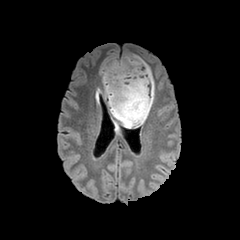
FLAIR MR.
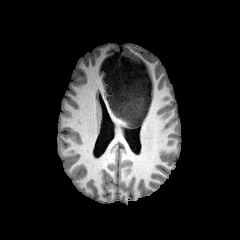
T1-weighted MR.
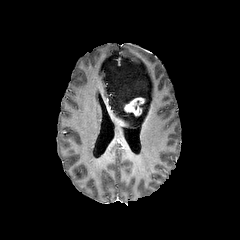
Post-contrast T1-weighted magnetic resonance.
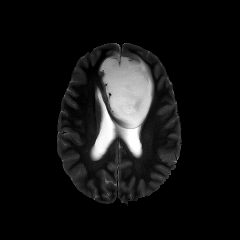
T2-weighted MRI of the same slice.
Axial plane; 240x240
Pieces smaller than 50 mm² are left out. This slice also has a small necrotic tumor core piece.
Segmented structures:
- enhancing tumor: [124, 97, 144, 116]
- peritumoral edema: [100, 55, 154, 127]